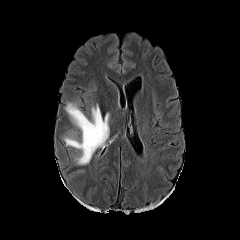
FLAIR MR image.
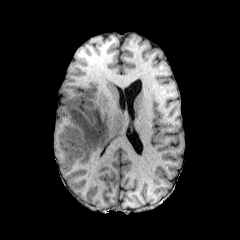
T1-weighted MR image of the same slice.
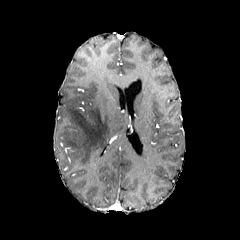
Same slice, post-contrast T1-weighted MR image.
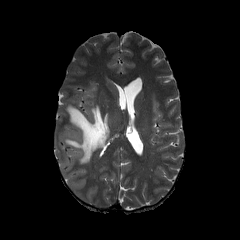
T2-weighted MR image.
Axial slice
Annotated regions:
• peritumoral edema: bbox(63, 102, 110, 164)